Axial slice.
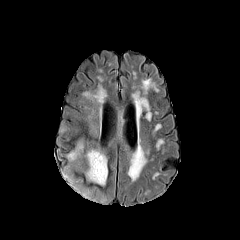
FLAIR MR.
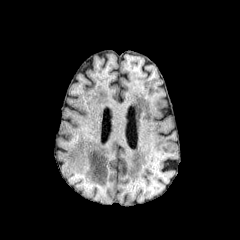
T1-weighted MR image of the same slice.
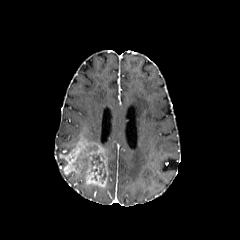
Post-contrast T1-weighted magnetic resonance of the same slice.
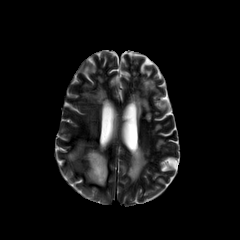
T2-weighted MRI.
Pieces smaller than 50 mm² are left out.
peritumoral edema: bounding box box=[72, 157, 88, 165]
necrotic tumor core: bounding box box=[89, 154, 104, 167]
enhancing tumor: bounding box box=[59, 137, 107, 186]